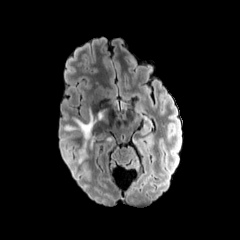
FLAIR magnetic resonance.
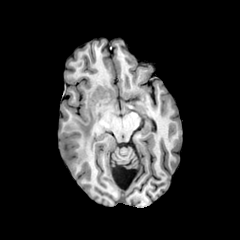
Same slice, T1-weighted MRI.
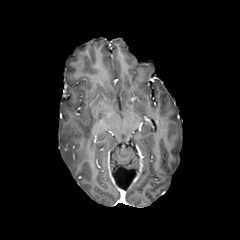
Post-contrast T1-weighted MRI.
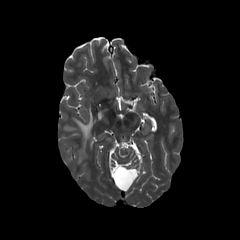
T2-weighted MRI.
Axial plane | Brain | 240x240 px
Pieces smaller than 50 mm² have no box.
<segmentation>
  <peritumoral_edema>x1=73, y1=108, x2=97, y2=139; x1=98, y1=109, x2=106, y2=119</peritumoral_edema>
</segmentation>